Slice 86 of 155 | Axial plane | Head
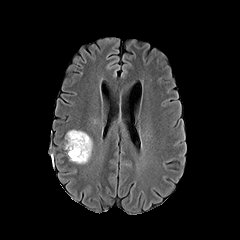
FLAIR magnetic resonance.
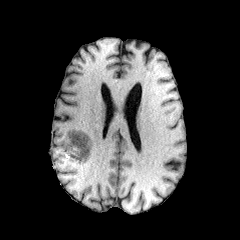
Same slice, T1-weighted MR image.
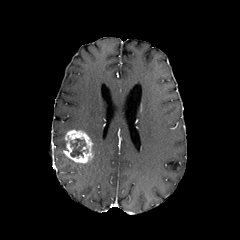
Post-contrast T1-weighted magnetic resonance.
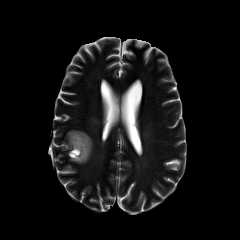
Same slice, T2-weighted MR image.
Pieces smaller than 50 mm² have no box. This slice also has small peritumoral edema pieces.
enhancing tumor: bounding box [x1=64, y1=130, x2=92, y2=163]
necrotic tumor core: bounding box [x1=70, y1=138, x2=85, y2=157]